FLAIR magnetic resonance.
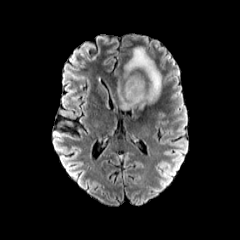
T1-weighted MRI.
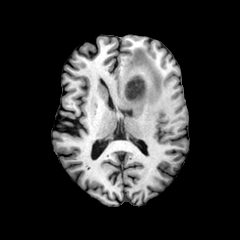
Post-contrast T1-weighted MR image.
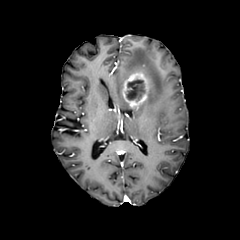
T2-weighted MR.
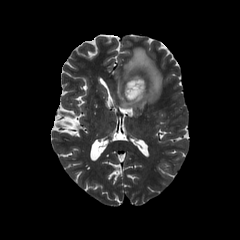
{
  "necrotic_tumor_core": [
    "x1=127 y1=80 x2=144 y2=99"
  ],
  "peritumoral_edema": [
    "x1=117 y1=47 x2=161 y2=108"
  ],
  "enhancing_tumor": [
    "x1=122 y1=72 x2=149 y2=107"
  ]
}